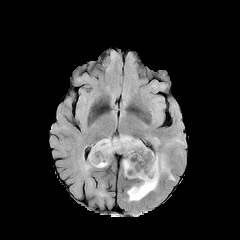
FLAIR magnetic resonance.
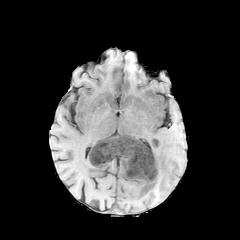
T1-weighted magnetic resonance.
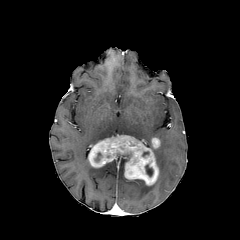
Post-contrast T1-weighted magnetic resonance.
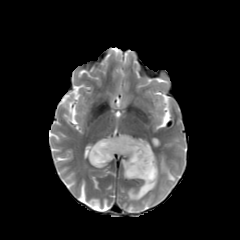
Same slice, T2-weighted magnetic resonance.
Axial view | Brain | Image size 240x240
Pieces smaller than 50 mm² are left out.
The largest peritumoral edema region is bounded by x1=127 y1=154 x2=175 y2=200. The enhancing tumor lies within x1=89 y1=135 x2=159 y2=185. The largest necrotic tumor core region appears at x1=145 y1=165 x2=153 y2=176.